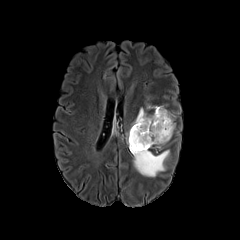
FLAIR MR.
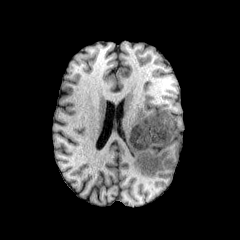
T1-weighted MR image.
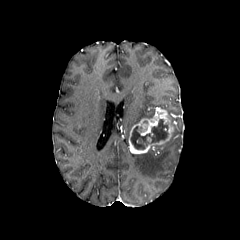
Same slice, post-contrast T1-weighted MRI.
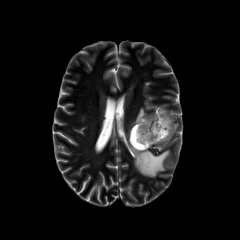
Same slice, T2-weighted MR.
Image size 240x240 | Axial slice | Brain
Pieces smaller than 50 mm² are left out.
- necrotic tumor core: left=131, top=119, right=168, bottom=149
- peritumoral edema: left=133, top=150, right=169, bottom=177; left=132, top=108, right=153, bottom=126
- enhancing tumor: left=128, top=107, right=174, bottom=153